Head, 240x240
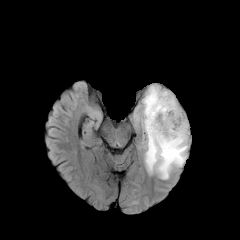
FLAIR MRI.
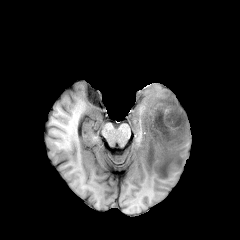
T1-weighted MRI.
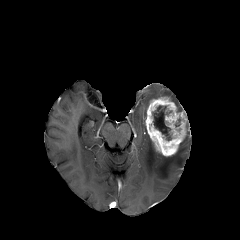
Post-contrast T1-weighted magnetic resonance.
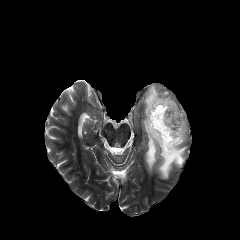
T2-weighted MR.
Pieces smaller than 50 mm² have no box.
{"peritumoral_edema": ["l=141, t=85, r=188, b=179"], "enhancing_tumor": ["l=144, t=96, r=188, b=156"], "necrotic_tumor_core": ["l=153, t=105, r=171, b=140"]}